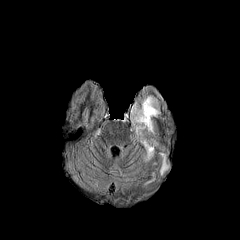
FLAIR magnetic resonance.
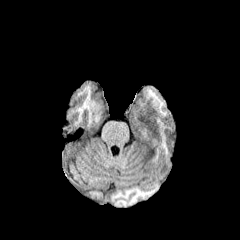
T1-weighted magnetic resonance of the same slice.
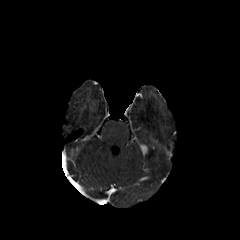
Same slice, post-contrast T1-weighted MRI.
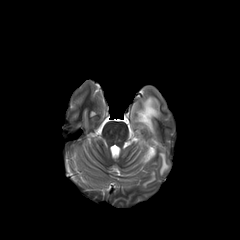
T2-weighted MRI of the same slice.
Head; Axial plane
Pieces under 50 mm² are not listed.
The largest enhancing tumor region is bounded by (x1=139, y1=144, x2=148, y2=155). The 2 largest peritumoral edema regions are bounded by (x1=160, y1=152, x2=169, y2=174), (x1=131, y1=96, x2=160, y2=161).